FLAIR MRI.
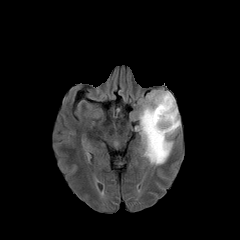
T1-weighted MRI.
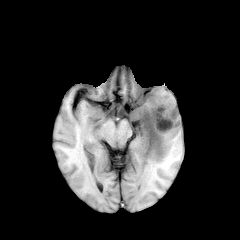
Post-contrast T1-weighted MRI.
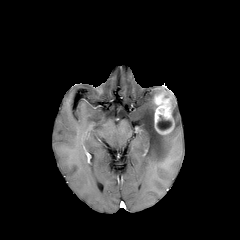
T2-weighted MR image.
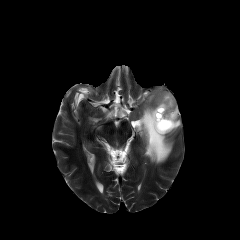
Head.
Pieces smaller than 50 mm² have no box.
Findings:
• enhancing tumor: l=153, t=91, r=174, b=134
• peritumoral edema: l=136, t=89, r=180, b=164
• necrotic tumor core: l=157, t=115, r=171, b=130